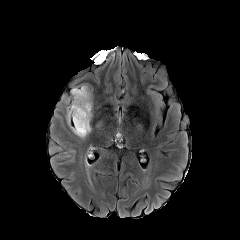
FLAIR MR image.
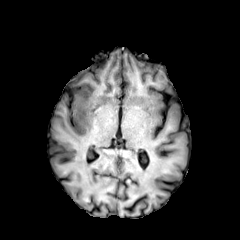
T1-weighted MR of the same slice.
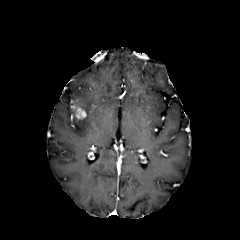
Post-contrast T1-weighted MR image.
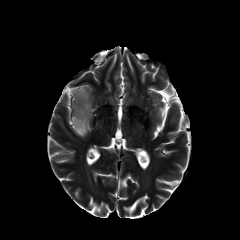
T2-weighted MR of the same slice.
Head. Axial view.
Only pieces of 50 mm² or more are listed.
enhancing_tumor:
  - 70,103,86,119
peritumoral_edema:
  - 67,85,92,137